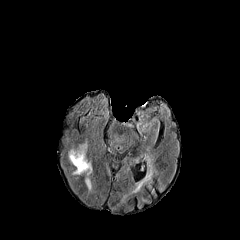
FLAIR MR image.
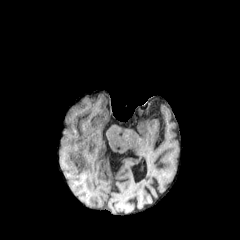
T1-weighted MR image of the same slice.
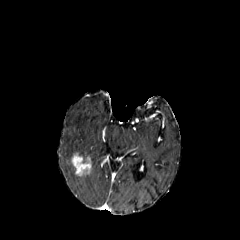
Post-contrast T1-weighted MR.
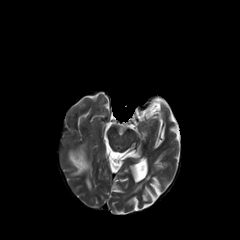
T2-weighted magnetic resonance.
Brain
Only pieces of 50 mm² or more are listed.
The 2 largest peritumoral edema regions are bounded by region(85, 177, 91, 190); region(69, 144, 86, 161). The enhancing tumor is at region(71, 153, 91, 175).